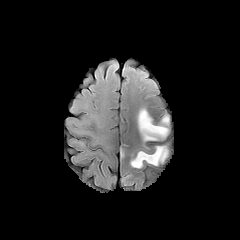
FLAIR MR.
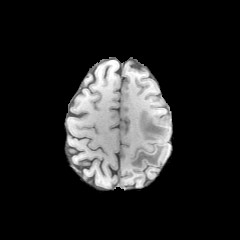
T1-weighted MR image of the same slice.
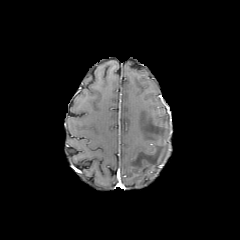
Post-contrast T1-weighted MR of the same slice.
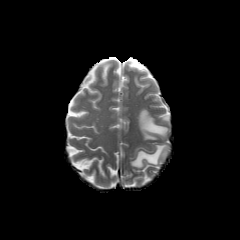
T2-weighted magnetic resonance.
Axial plane.
peritumoral edema: rect(162, 115, 168, 123); rect(138, 109, 168, 140); rect(131, 146, 167, 168)